FLAIR MRI.
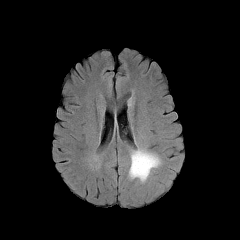
T1-weighted MR image.
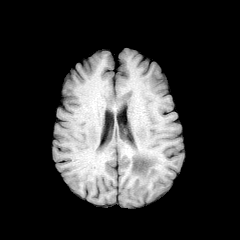
Post-contrast T1-weighted magnetic resonance.
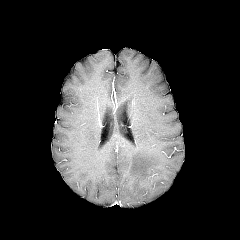
T2-weighted MRI.
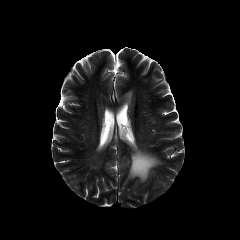
Axial slice. 240x240. Brain.
peritumoral edema: bbox=[129, 149, 161, 182]